Slice 110 of 155 | 240x240
FLAIR magnetic resonance.
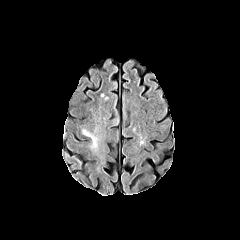
T1-weighted MR.
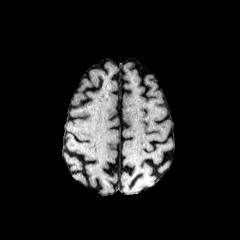
Post-contrast T1-weighted MRI.
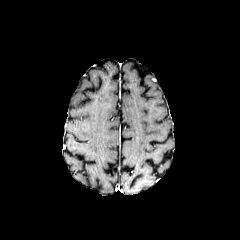
T2-weighted MRI.
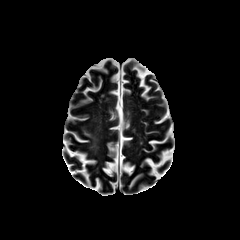
Findings:
• peritumoral edema: l=84, t=131, r=96, b=146